FLAIR magnetic resonance.
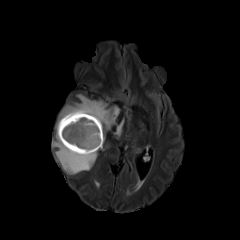
T1-weighted MR.
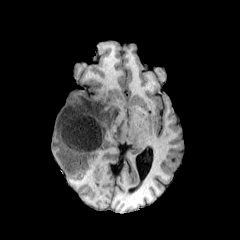
Post-contrast T1-weighted MR image.
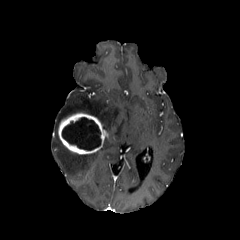
T2-weighted MR image.
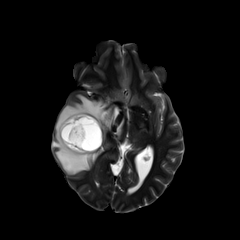
Head | Axial view
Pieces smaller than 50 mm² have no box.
{
  "peritumoral_edema": [
    "114:120:123:136",
    "52:94:119:174"
  ],
  "necrotic_tumor_core": [
    "62:117:101:150"
  ],
  "enhancing_tumor": [
    "58:112:104:154"
  ]
}